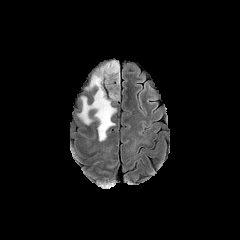
FLAIR MR.
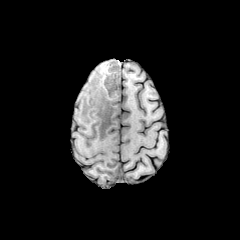
T1-weighted MRI of the same slice.
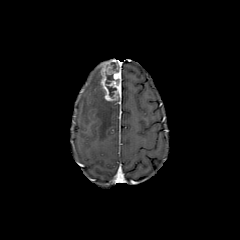
Same slice, post-contrast T1-weighted MR image.
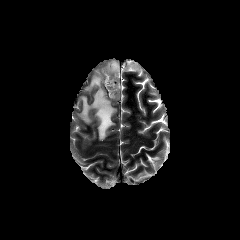
Same slice, T2-weighted magnetic resonance.
Axial slice. 240x240.
{"enhancing_tumor": ["[x1=100, y1=59, x2=120, y2=101]"], "peritumoral_edema": ["[x1=78, y1=67, x2=116, y2=141]"], "necrotic_tumor_core": ["[x1=105, y1=74, x2=113, y2=83]", "[x1=107, y1=86, x2=116, y2=96]"]}